FLAIR MR.
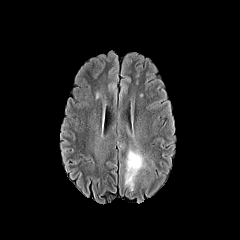
T1-weighted MR image.
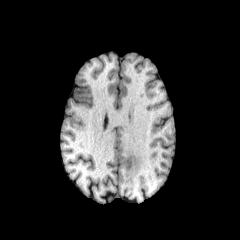
Post-contrast T1-weighted MR image.
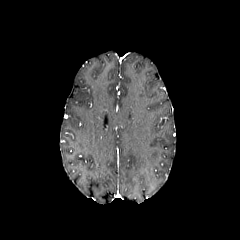
T2-weighted MRI.
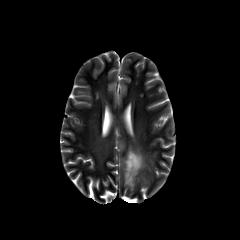
Brain.
The peritumoral edema is located at [125,149,145,190].